Axial slice, Slice 69/155
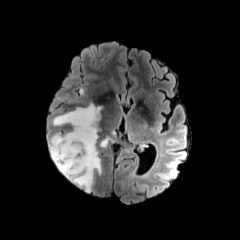
FLAIR MRI.
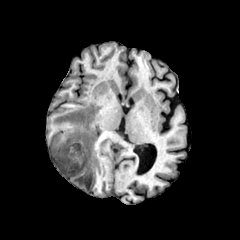
T1-weighted MR.
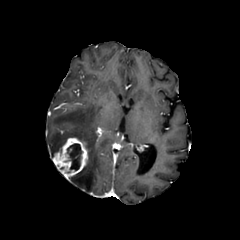
Post-contrast T1-weighted magnetic resonance of the same slice.
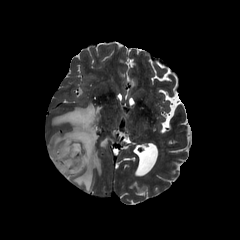
Same slice, T2-weighted magnetic resonance.
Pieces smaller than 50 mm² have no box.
enhancing_tumor:
  - bbox=[52, 137, 88, 179]
peritumoral_edema:
  - bbox=[50, 103, 101, 191]
  - bbox=[100, 138, 108, 147]
necrotic_tumor_core:
  - bbox=[67, 143, 81, 170]